Brain. 240x240. Slice 60/155.
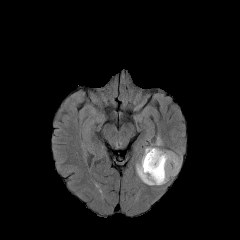
FLAIR MR.
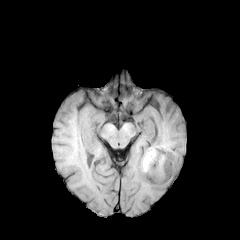
Same slice, T1-weighted MR.
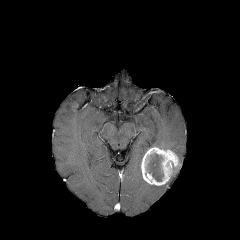
Post-contrast T1-weighted MR of the same slice.
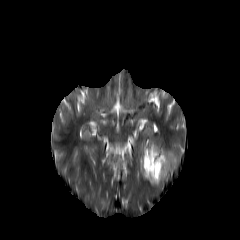
T2-weighted MR.
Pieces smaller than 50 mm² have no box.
necrotic tumor core at {"x1": 146, "y1": 153, "x2": 163, "y2": 181}
enhancing tumor at {"x1": 141, "y1": 147, "x2": 180, "y2": 185}
peritumoral edema at {"x1": 136, "y1": 135, "x2": 162, "y2": 185}